Image covers 240 mm x 240 mm, Image size 240x240, Brain, Slice index 95
FLAIR magnetic resonance.
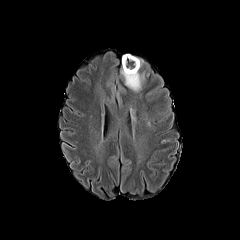
T1-weighted MR image.
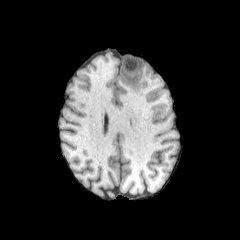
Post-contrast T1-weighted magnetic resonance.
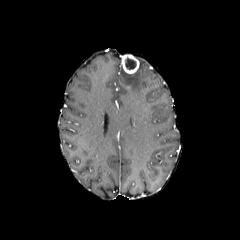
T2-weighted magnetic resonance.
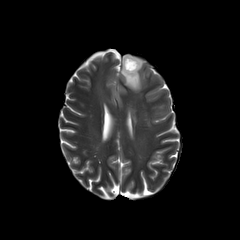
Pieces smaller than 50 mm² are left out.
enhancing tumor = (122,54,139,73)
peritumoral edema = (120,68,144,92)
necrotic tumor core = (125,57,136,70)